Head.
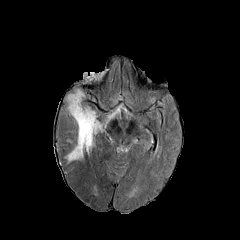
FLAIR MR.
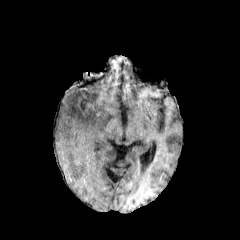
Same slice, T1-weighted MR image.
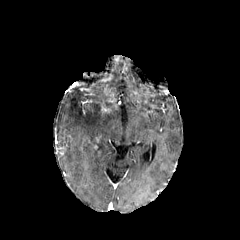
Post-contrast T1-weighted MRI.
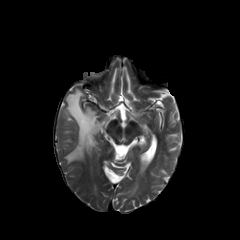
T2-weighted magnetic resonance of the same slice.
Findings:
* peritumoral edema: (left=66, top=89, right=113, bottom=161)